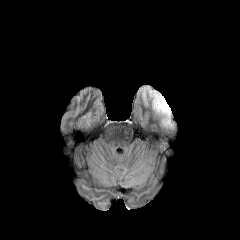
FLAIR MR image.
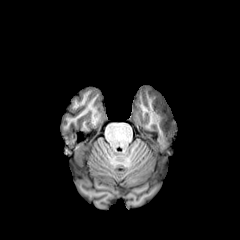
T1-weighted MRI.
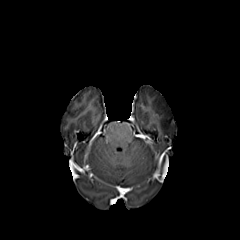
Post-contrast T1-weighted MR of the same slice.
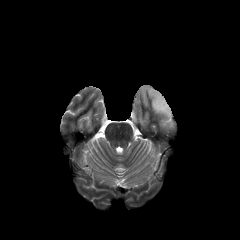
T2-weighted MRI.
Brain; Axial plane
peritumoral_edema:
  - 149, 90, 173, 127